Axial view, 240x240
FLAIR MR image.
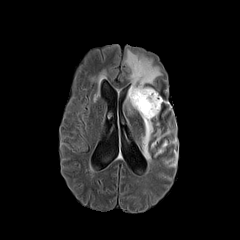
T1-weighted MR.
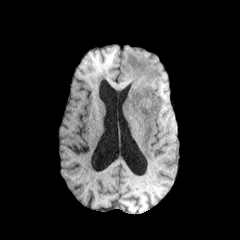
Post-contrast T1-weighted magnetic resonance.
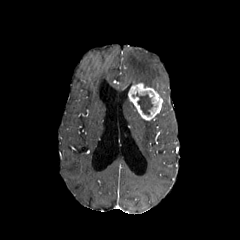
T2-weighted MR image.
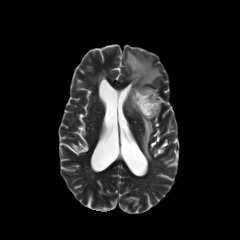
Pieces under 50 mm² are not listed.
necrotic tumor core at (x1=136, y1=93, x2=152, y2=115)
enhancing tumor at (x1=128, y1=82, x2=163, y2=120)
peritumoral edema at (x1=125, y1=95, x2=134, y2=113), (x1=141, y1=119, x2=153, y2=161), (x1=124, y1=50, x2=161, y2=85)